240x240. Head. Slice 94 of 155.
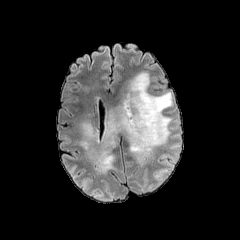
FLAIR magnetic resonance.
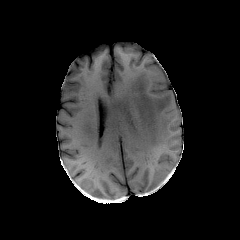
T1-weighted magnetic resonance.
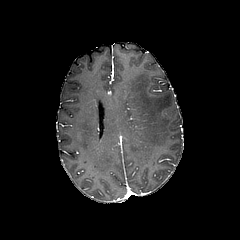
Same slice, post-contrast T1-weighted magnetic resonance.
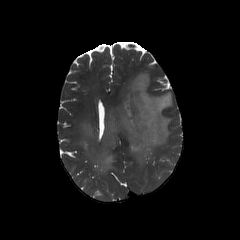
T2-weighted MRI.
peritumoral edema: bounding box x1=79 y1=71 x2=172 y2=173